Axial plane; Image width 240 mm, 1.00 mm slice spacing; 240x240 px; Head
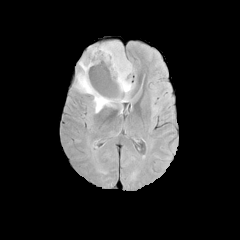
FLAIR MR image.
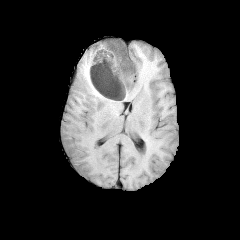
T1-weighted MRI.
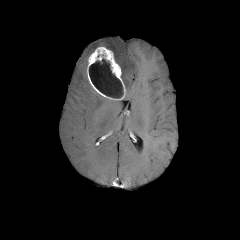
Post-contrast T1-weighted MRI.
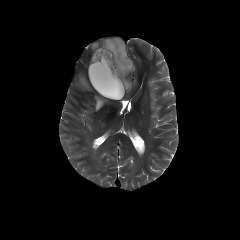
T2-weighted MR.
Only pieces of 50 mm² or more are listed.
Annotated regions:
* necrotic tumor core: rect(89, 53, 123, 98)
* enhancing tumor: rect(87, 47, 125, 99)
* peritumoral edema: rect(76, 40, 134, 112)